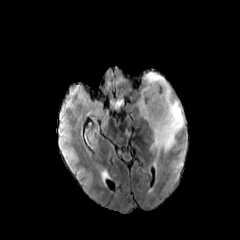
FLAIR MR image.
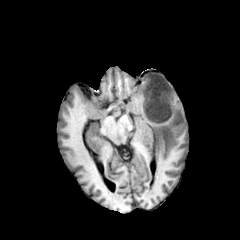
T1-weighted MRI.
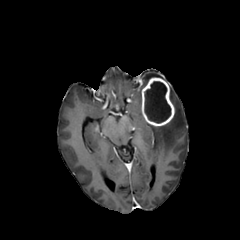
Post-contrast T1-weighted MR.
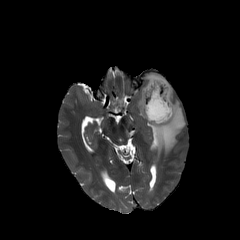
T2-weighted magnetic resonance of the same slice.
{"enhancing_tumor": ["[x1=141, y1=77, x2=174, y2=126]"], "necrotic_tumor_core": ["[x1=145, y1=81, x2=170, y2=122]"], "peritumoral_edema": ["[x1=144, y1=72, x2=163, y2=84]", "[x1=137, y1=95, x2=142, y2=116]", "[x1=150, y1=88, x2=184, y2=158]"]}